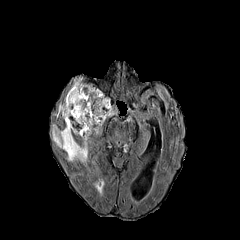
FLAIR magnetic resonance.
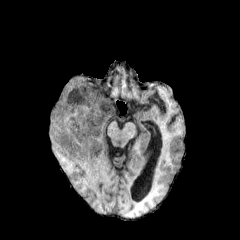
T1-weighted MR.
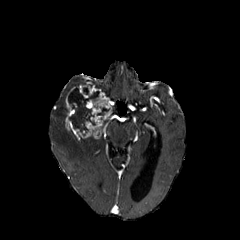
Post-contrast T1-weighted MRI.
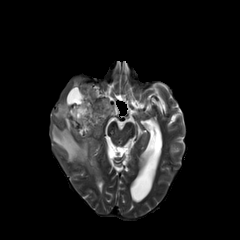
Same slice, T2-weighted MR.
Head.
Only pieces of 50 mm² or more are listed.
The largest enhancing tumor region is located at box(65, 83, 112, 138). The 3 largest peritumoral edema regions are located at box(55, 102, 66, 119); box(52, 124, 88, 163); box(72, 78, 81, 87). The 2 largest necrotic tumor core regions are located at box(97, 107, 109, 115); box(68, 87, 99, 132).